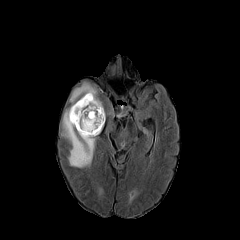
FLAIR MR.
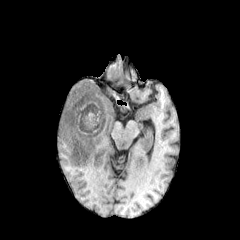
T1-weighted MR of the same slice.
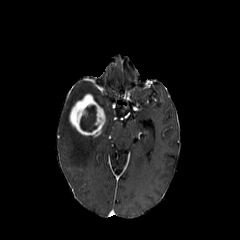
Same slice, post-contrast T1-weighted MR image.
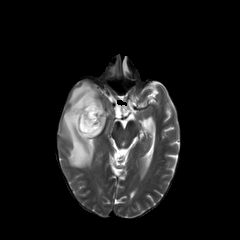
T2-weighted MRI.
Axial plane; Brain
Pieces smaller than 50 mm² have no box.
peritumoral edema at rect(61, 82, 103, 167)
enhancing tumor at rect(69, 93, 105, 136)
necrotic tumor core at rect(80, 105, 99, 131)